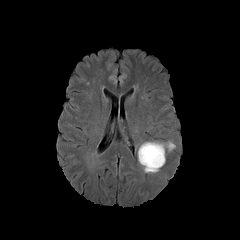
FLAIR MR image.
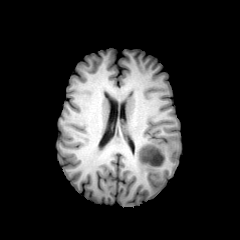
Same slice, T1-weighted MR image.
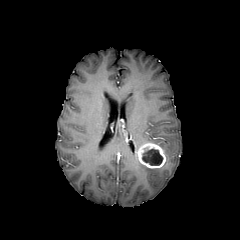
Post-contrast T1-weighted MR of the same slice.
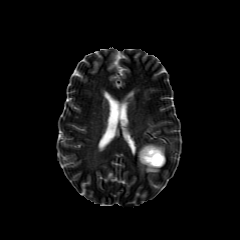
T2-weighted MR of the same slice.
Axial slice | Head | Image size 240x240
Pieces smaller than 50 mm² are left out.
peritumoral edema: box=[140, 163, 159, 172]; box=[142, 142, 165, 153] | necrotic tumor core: box=[142, 149, 162, 165] | enhancing tumor: box=[137, 143, 165, 168]